Brain | Slice 66/155
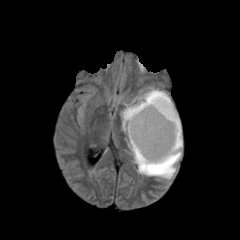
FLAIR MRI.
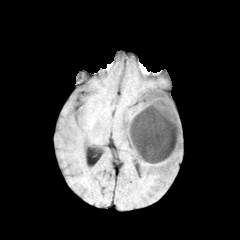
T1-weighted magnetic resonance of the same slice.
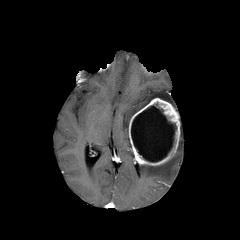
Same slice, post-contrast T1-weighted MR.
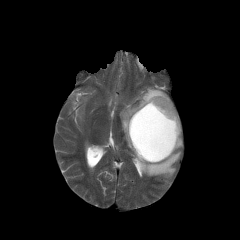
T2-weighted MR of the same slice.
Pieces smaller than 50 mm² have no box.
The 2 largest peritumoral edema regions are bounded by 120 87 172 149, 138 127 182 179. The enhancing tumor lies within 128 97 180 165. The largest necrotic tumor core region is located at 131 105 176 162.